Slice 50 of 155. Brain.
FLAIR MR.
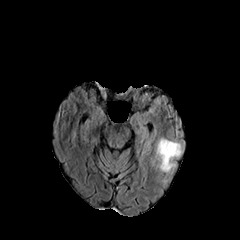
T1-weighted MR.
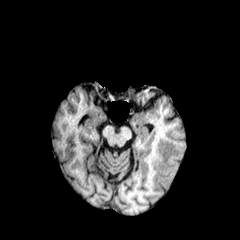
Post-contrast T1-weighted magnetic resonance.
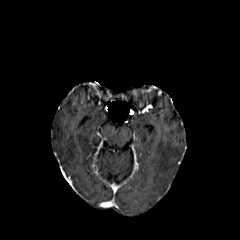
T2-weighted MR image.
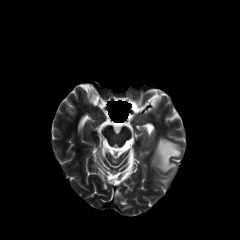
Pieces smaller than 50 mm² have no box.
Findings:
* peritumoral edema: [156,138,182,173]